Slice 56 of 155; Head; 240x240 px
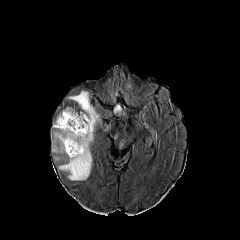
FLAIR MR.
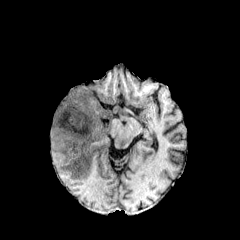
T1-weighted magnetic resonance.
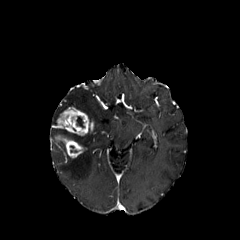
Post-contrast T1-weighted MRI of the same slice.
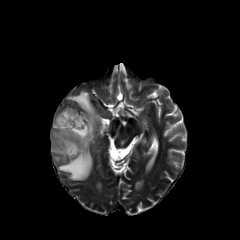
Same slice, T2-weighted MRI.
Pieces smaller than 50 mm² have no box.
<segmentation>
  <necrotic_tumor_core>62, 130, 81, 142; 76, 116, 84, 127</necrotic_tumor_core>
  <peritumoral_edema>58, 141, 66, 153; 52, 143, 60, 153; 68, 91, 100, 124; 58, 128, 92, 180</peritumoral_edema>
  <enhancing_tumor>54, 133, 84, 158; 56, 107, 94, 136</enhancing_tumor>
</segmentation>